Slice 67 of 155, 240x240, Brain
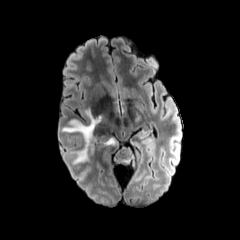
FLAIR MR.
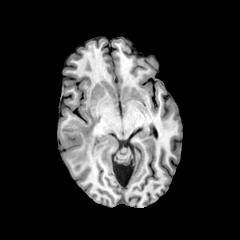
T1-weighted MR image.
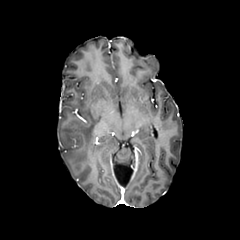
Post-contrast T1-weighted magnetic resonance.
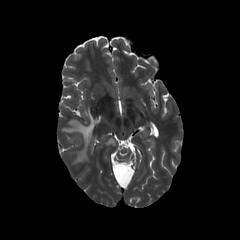
Same slice, T2-weighted MR.
2 peritumoral edema regions appear at [62, 109, 102, 161], [104, 138, 115, 145].